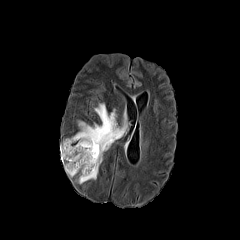
FLAIR MR image.
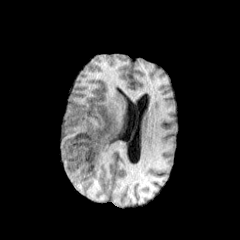
T1-weighted MR of the same slice.
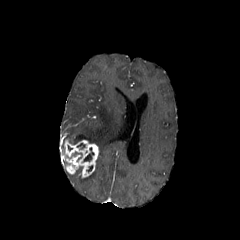
Post-contrast T1-weighted magnetic resonance of the same slice.
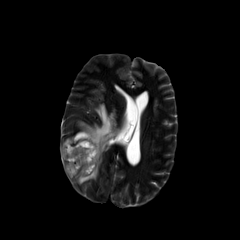
T2-weighted MR image.
Brain
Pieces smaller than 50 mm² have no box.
peritumoral_edema:
  - [69, 102, 127, 183]
enhancing_tumor:
  - [61, 139, 98, 178]
necrotic_tumor_core:
  - [84, 147, 94, 161]